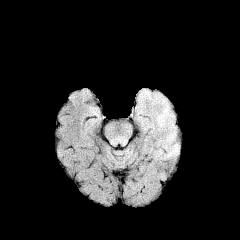
FLAIR MRI.
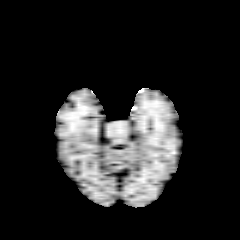
T1-weighted MR.
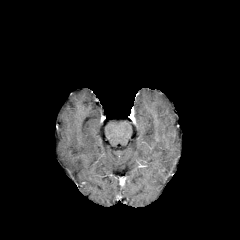
Post-contrast T1-weighted MR of the same slice.
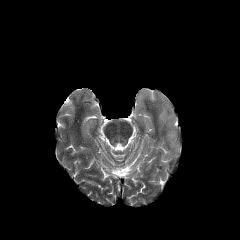
T2-weighted magnetic resonance.
Brain, Axial plane
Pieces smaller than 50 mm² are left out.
peritumoral edema: <bbox>158, 109, 175, 144</bbox>